Image width 240 mm | Axial view
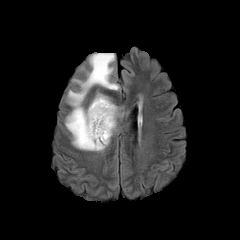
FLAIR MRI.
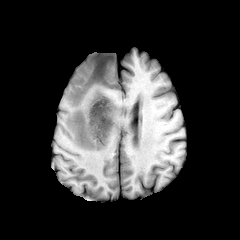
Same slice, T1-weighted magnetic resonance.
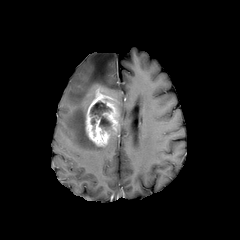
Post-contrast T1-weighted MRI.
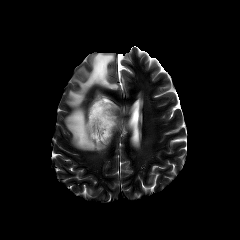
T2-weighted MR image.
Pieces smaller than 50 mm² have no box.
The largest necrotic tumor core region appears at 90,101,111,129. The largest peritumoral edema region lies within 65,53,118,151. The enhancing tumor appears at 85,90,119,146.